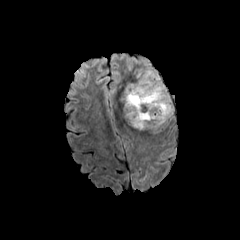
FLAIR MRI.
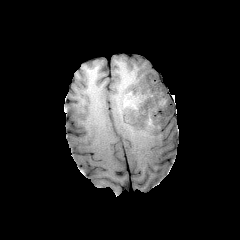
T1-weighted MR of the same slice.
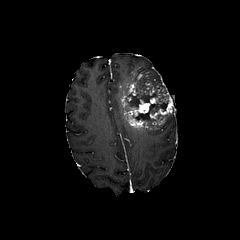
Same slice, post-contrast T1-weighted MR image.
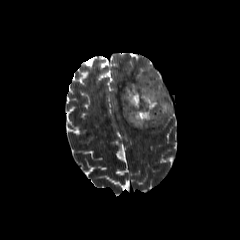
T2-weighted MR.
240x240; Head; Axial plane
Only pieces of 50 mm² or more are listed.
necrotic_tumor_core:
  - left=125, top=76, right=167, bottom=125
enhancing_tumor:
  - left=121, top=74, right=174, bottom=130
peritumoral_edema:
  - left=135, top=65, right=158, bottom=79